Image size 240x240, Slice 135 of 155
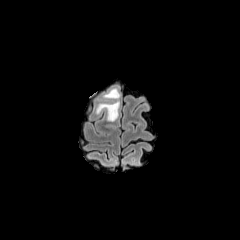
FLAIR magnetic resonance.
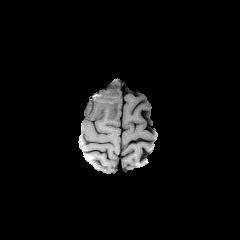
T1-weighted magnetic resonance.
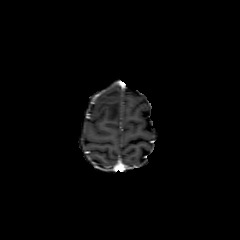
Post-contrast T1-weighted magnetic resonance of the same slice.
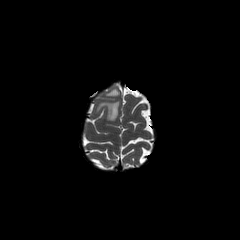
T2-weighted MR image.
<segmentation>
  <peritumoral_edema>{"x1": 96, "y1": 87, "x2": 119, "y2": 121}</peritumoral_edema>
</segmentation>